240x240. Head. Image width 240 mm.
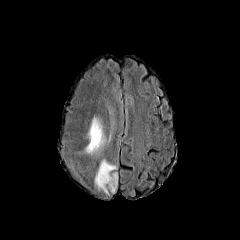
FLAIR magnetic resonance.
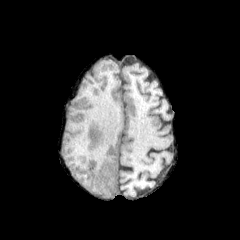
T1-weighted MR of the same slice.
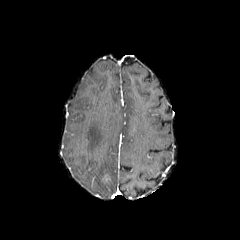
Post-contrast T1-weighted MR image.
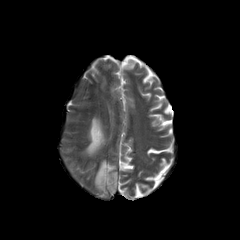
T2-weighted magnetic resonance.
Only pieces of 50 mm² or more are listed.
{"peritumoral_edema": ["rect(95, 159, 118, 194)", "rect(84, 115, 105, 154)"], "enhancing_tumor": ["rect(102, 174, 110, 182)"]}